FLAIR MR image.
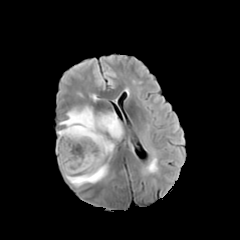
T1-weighted MR image.
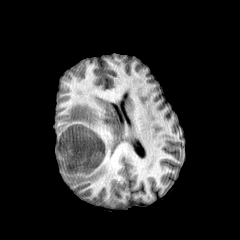
Post-contrast T1-weighted magnetic resonance.
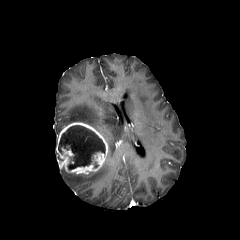
T2-weighted MR.
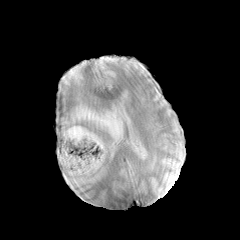
Head
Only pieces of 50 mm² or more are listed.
- necrotic tumor core: x1=58, y1=125, x2=105, y2=169
- enhancing tumor: x1=56, y1=122, x2=108, y2=174
- peritumoral edema: x1=59, y1=105, x2=123, y2=155; x1=63, y1=163, x2=108, y2=186